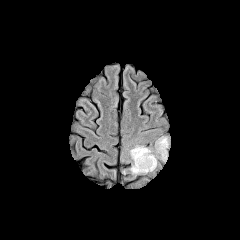
FLAIR MRI.
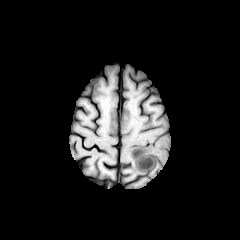
T1-weighted MRI.
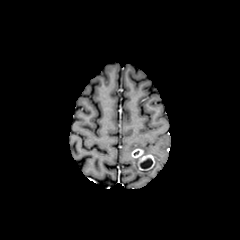
Post-contrast T1-weighted magnetic resonance.
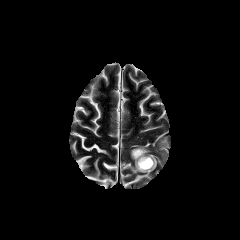
Same slice, T2-weighted MR image.
240x240 px, Brain
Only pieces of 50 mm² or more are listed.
necrotic_tumor_core:
  - [139, 158, 152, 168]
enhancing_tumor:
  - [131, 148, 155, 170]
peritumoral_edema:
  - [157, 137, 169, 160]
  - [129, 145, 157, 174]